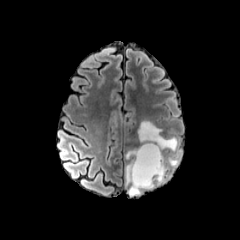
FLAIR MR image.
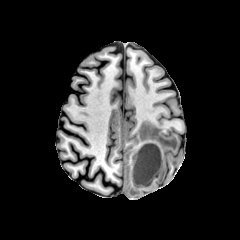
T1-weighted MRI of the same slice.
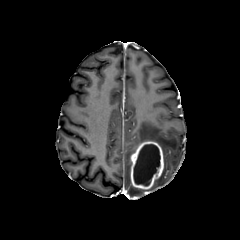
Post-contrast T1-weighted magnetic resonance.
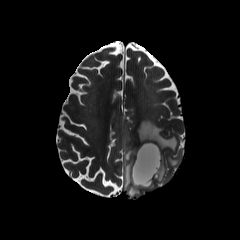
T2-weighted MR of the same slice.
Head
2 peritumoral edema regions appear at x1=137 y1=121 x2=180 y2=189, x1=125 y1=147 x2=143 y2=196. The enhancing tumor is at x1=130 y1=141 x2=163 y2=191. The necrotic tumor core is located at x1=133 y1=144 x2=160 y2=186.